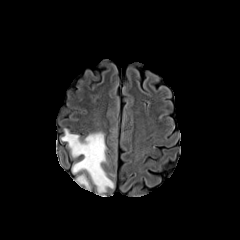
FLAIR MRI.
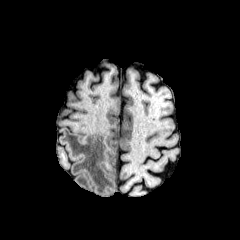
T1-weighted MR.
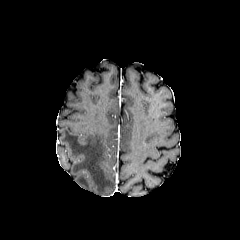
Post-contrast T1-weighted MR.
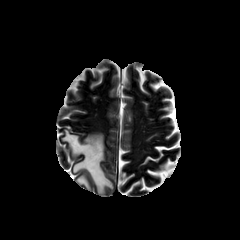
Same slice, T2-weighted magnetic resonance.
peritumoral edema — <box>61,129,113,193</box>, <box>76,175,90,190</box>